FLAIR MRI.
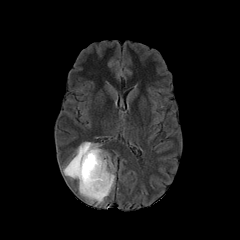
T1-weighted MRI.
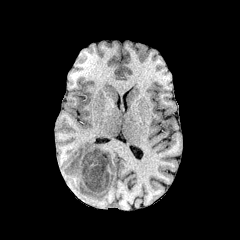
Post-contrast T1-weighted magnetic resonance.
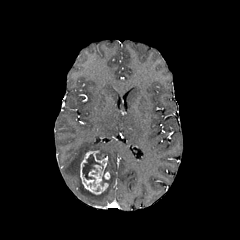
T2-weighted MR image.
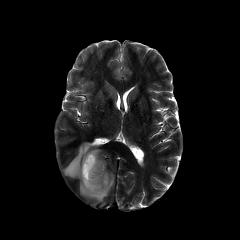
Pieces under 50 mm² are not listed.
The enhancing tumor appears at [80, 150, 109, 194]. The peritumoral edema lies within [63, 142, 114, 204]. The largest necrotic tumor core region lies within [82, 154, 103, 179].